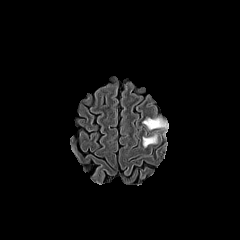
FLAIR magnetic resonance.
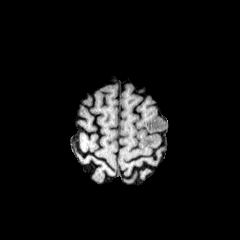
T1-weighted MR image.
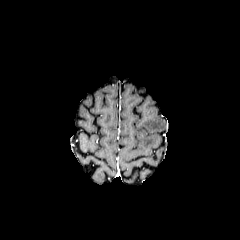
Post-contrast T1-weighted MRI of the same slice.
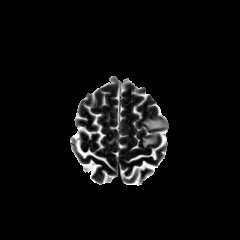
T2-weighted MR.
Head | Axial slice
peritumoral edema: rect(143, 118, 167, 129); rect(143, 134, 157, 147)